Slice index 51, Axial slice, Brain
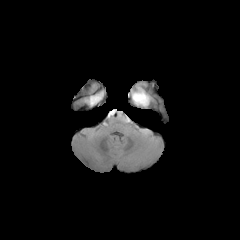
FLAIR MR.
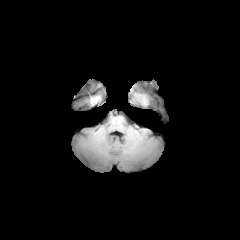
Same slice, T1-weighted MRI.
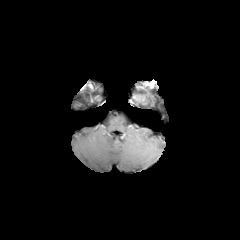
Same slice, post-contrast T1-weighted MR.
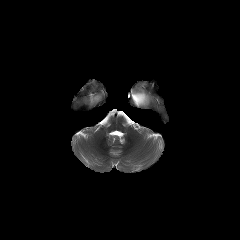
T2-weighted magnetic resonance of the same slice.
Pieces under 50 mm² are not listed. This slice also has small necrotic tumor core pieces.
<segmentation>
  <peritumoral_edema>(x1=141, y1=88, x2=150, y2=106)</peritumoral_edema>
  <enhancing_tumor>(x1=132, y1=94, x2=145, y2=105)</enhancing_tumor>
</segmentation>